FLAIR MR.
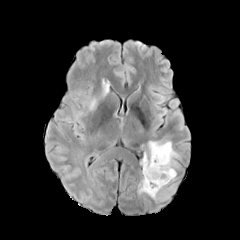
T1-weighted MR.
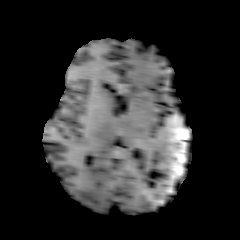
Post-contrast T1-weighted MR.
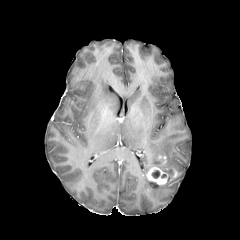
T2-weighted magnetic resonance.
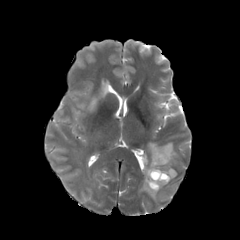
Axial plane | Brain
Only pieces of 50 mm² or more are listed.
The 2 largest peritumoral edema regions are bounded by {"x1": 138, "y1": 140, "x2": 179, "y2": 199}, {"x1": 87, "y1": 80, "x2": 109, "y2": 110}. The largest necrotic tumor core region is at {"x1": 152, "y1": 170, "x2": 159, "y2": 178}. The largest enhancing tumor region is at {"x1": 146, "y1": 167, "x2": 167, "y2": 184}.